Slice index 67; Brain
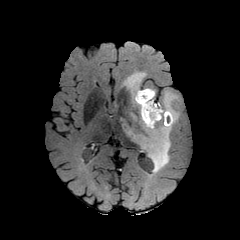
FLAIR magnetic resonance.
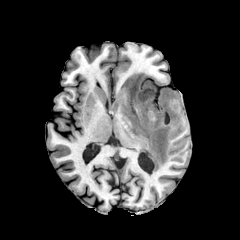
T1-weighted magnetic resonance of the same slice.
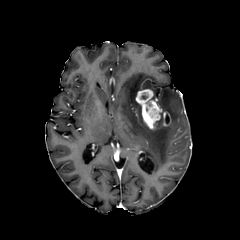
Post-contrast T1-weighted MR image.
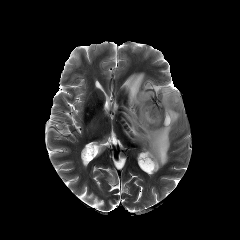
T2-weighted MR image of the same slice.
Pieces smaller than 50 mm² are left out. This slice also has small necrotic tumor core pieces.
peritumoral edema = bbox=[122, 72, 179, 173]
enhancing tumor = bbox=[136, 89, 162, 129]